FLAIR MRI.
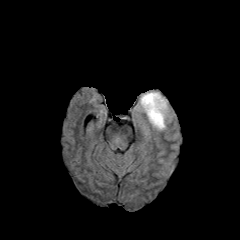
T1-weighted MRI.
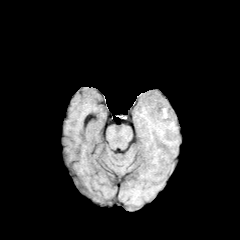
Post-contrast T1-weighted MR.
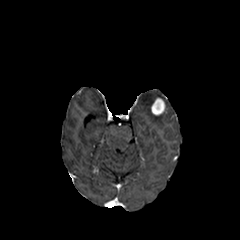
T2-weighted magnetic resonance.
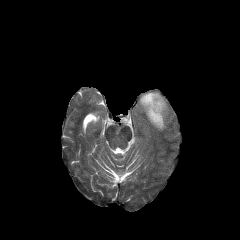
peritumoral edema — x1=140 y1=92 x2=167 y2=129
enhancing tumor — x1=151 y1=97 x2=165 y2=115